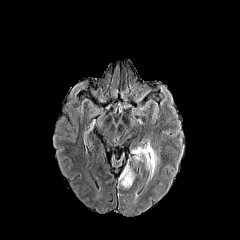
FLAIR MR.
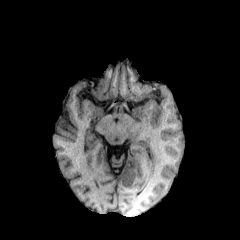
T1-weighted MR.
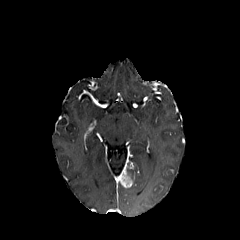
Same slice, post-contrast T1-weighted MR image.
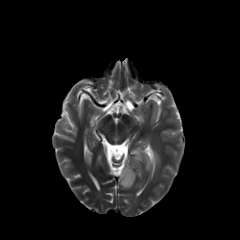
Same slice, T2-weighted MRI.
Brain
2 peritumoral edema regions appear at l=127, t=169, r=134, b=179; l=132, t=147, r=157, b=177. The enhancing tumor appears at l=120, t=169, r=133, b=187.